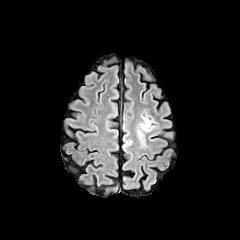
FLAIR magnetic resonance.
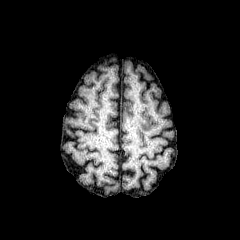
Same slice, T1-weighted MR.
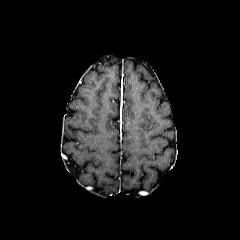
Post-contrast T1-weighted MRI.
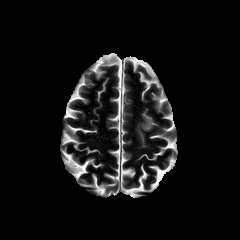
Same slice, T2-weighted MR image.
{
  "peritumoral_edema": [
    "x1=136 y1=115 x2=154 y2=146"
  ]
}